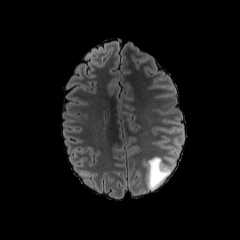
FLAIR MRI.
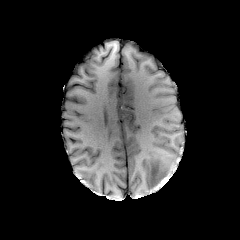
T1-weighted MR image.
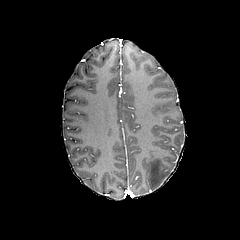
Post-contrast T1-weighted magnetic resonance.
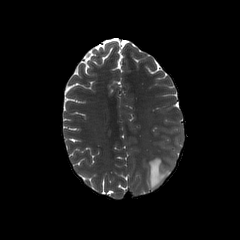
T2-weighted MRI.
Brain; 240x240 px
The peritumoral edema appears at {"x1": 144, "y1": 156, "x2": 171, "y2": 189}.